FLAIR MR image.
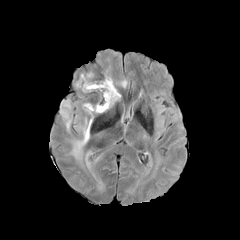
T1-weighted MRI.
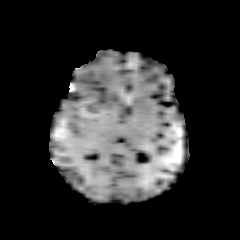
Post-contrast T1-weighted MRI.
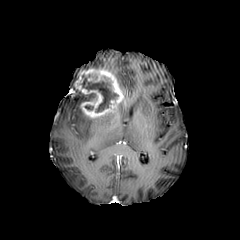
T2-weighted MRI.
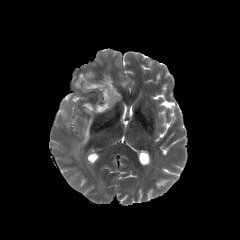
Brain
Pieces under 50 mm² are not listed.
{"peritumoral_edema": ["bbox(60, 100, 92, 159)"], "necrotic_tumor_core": ["bbox(82, 93, 95, 100)", "bbox(86, 81, 117, 112)"], "enhancing_tumor": ["bbox(70, 68, 123, 118)"]}